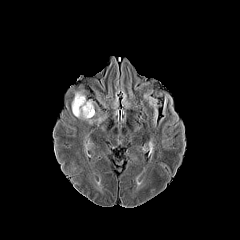
FLAIR MR.
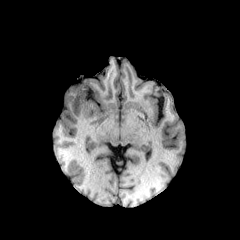
Same slice, T1-weighted magnetic resonance.
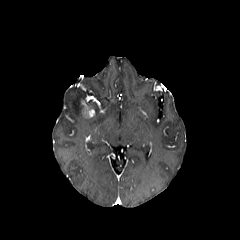
Post-contrast T1-weighted magnetic resonance.
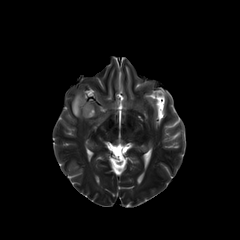
T2-weighted magnetic resonance.
Brain. 240x240. Axial slice.
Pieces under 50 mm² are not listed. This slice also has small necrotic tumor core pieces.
The enhancing tumor lies within x1=81 y1=100 x2=94 y2=117. The 2 largest peritumoral edema regions are bounded by x1=72 y1=92 x2=93 y2=123, x1=94 y1=115 x2=106 y2=122.